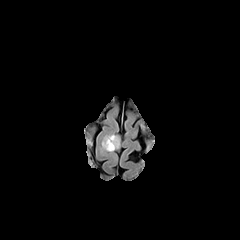
FLAIR MR.
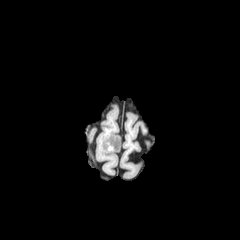
T1-weighted magnetic resonance.
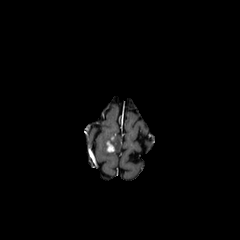
Post-contrast T1-weighted MR.
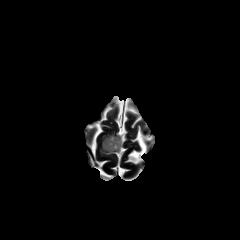
T2-weighted MR.
Head
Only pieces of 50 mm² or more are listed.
peritumoral edema: (100, 134, 120, 153)
enhancing tumor: (106, 141, 114, 152)